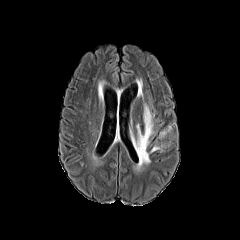
FLAIR magnetic resonance.
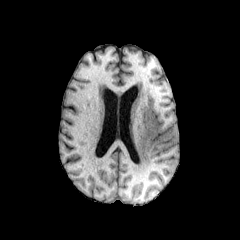
Same slice, T1-weighted magnetic resonance.
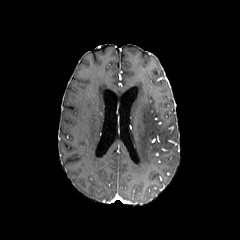
Post-contrast T1-weighted MR.
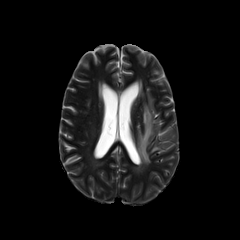
T2-weighted MR image.
Head
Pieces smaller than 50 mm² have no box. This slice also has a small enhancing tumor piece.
Annotated regions:
- peritumoral edema: (x1=136, y1=104, x2=154, y2=170), (x1=159, y1=126, x2=170, y2=138)